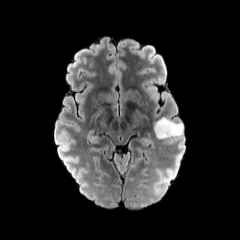
FLAIR MR.
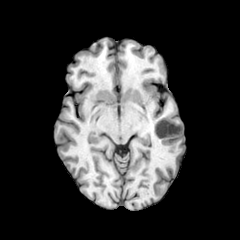
Same slice, T1-weighted MR image.
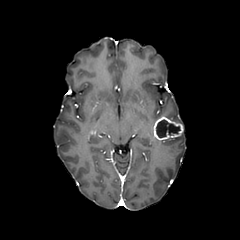
Post-contrast T1-weighted MRI of the same slice.
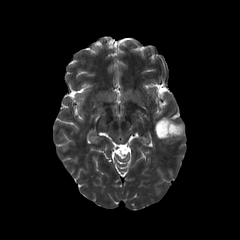
Same slice, T2-weighted magnetic resonance.
Brain
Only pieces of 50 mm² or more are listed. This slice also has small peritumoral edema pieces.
enhancing tumor at box=[154, 116, 183, 139]
necrotic tumor core at box=[156, 119, 180, 137]